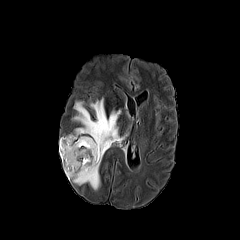
FLAIR magnetic resonance.
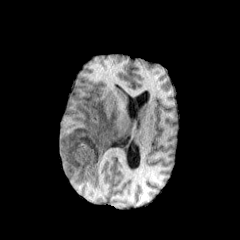
T1-weighted magnetic resonance of the same slice.
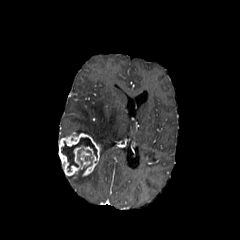
Post-contrast T1-weighted MR image of the same slice.
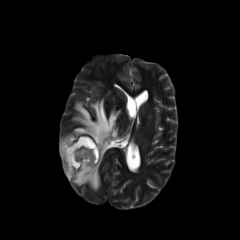
T2-weighted MR image.
Axial slice.
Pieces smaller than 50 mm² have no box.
necrotic tumor core: box=[79, 150, 93, 173]; box=[61, 138, 97, 171] | peritumoral edema: box=[67, 98, 128, 190] | enhancing tumor: box=[59, 132, 101, 176]